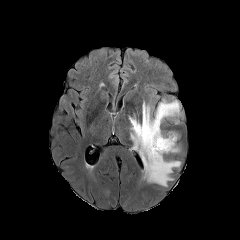
FLAIR MR image.
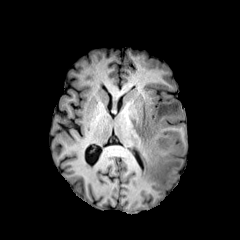
T1-weighted MR image.
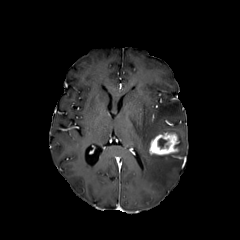
Post-contrast T1-weighted MR image.
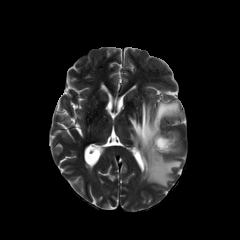
T2-weighted MRI.
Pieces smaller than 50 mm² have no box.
necrotic tumor core: <bbox>158, 138, 166, 147</bbox> | peritumoral edema: <bbox>129, 100, 182, 186</bbox> | enhancing tumor: <bbox>149, 132, 178, 155</bbox>